Axial slice.
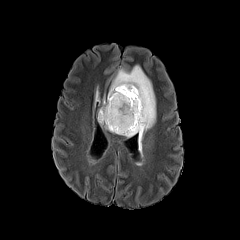
FLAIR MR image.
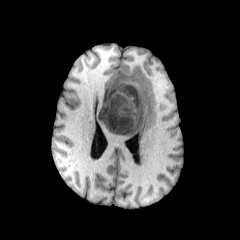
T1-weighted MRI.
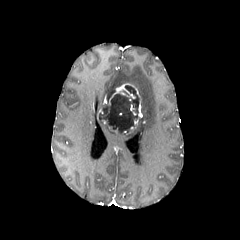
Same slice, post-contrast T1-weighted magnetic resonance.
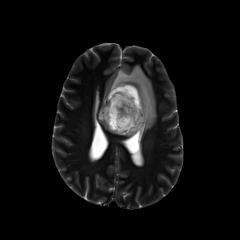
Same slice, T2-weighted MRI.
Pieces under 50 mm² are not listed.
The largest peritumoral edema region is located at bbox=[108, 65, 155, 151]. The largest necrotic tumor core region is at bbox=[99, 85, 139, 133]. The 2 largest enhancing tumor regions are bounded by bbox=[109, 83, 139, 104]; bbox=[129, 98, 142, 132].